FLAIR MRI.
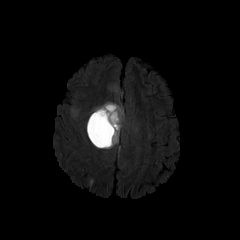
T1-weighted MRI.
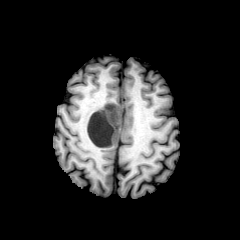
Post-contrast T1-weighted magnetic resonance.
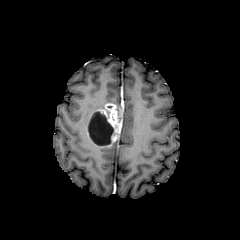
T2-weighted MR image.
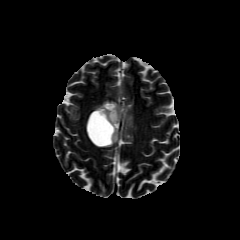
Axial view | Brain
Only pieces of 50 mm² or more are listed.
The enhancing tumor is bounded by 87 103 122 147. The largest peritumoral edema region lies within 92 101 122 112. The largest necrotic tumor core region appears at 88 111 113 145.